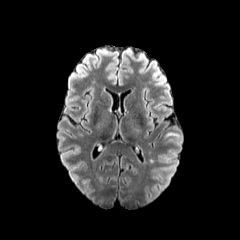
FLAIR MR image.
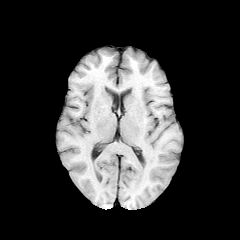
Same slice, T1-weighted MR image.
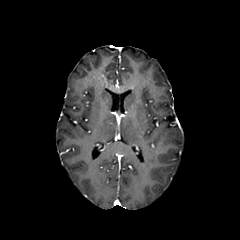
Post-contrast T1-weighted magnetic resonance.
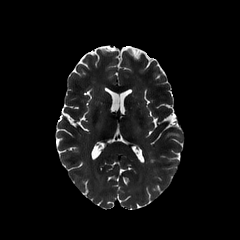
T2-weighted MRI.
240x240 px
peritumoral_edema:
  - l=166, t=132, r=178, b=136